Slice 59 of 155. Image size 240x240.
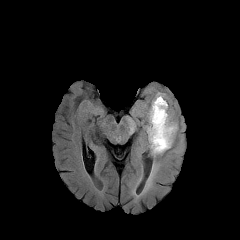
FLAIR magnetic resonance.
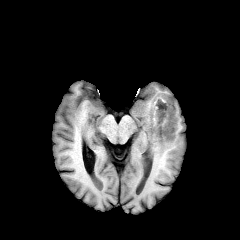
T1-weighted magnetic resonance.
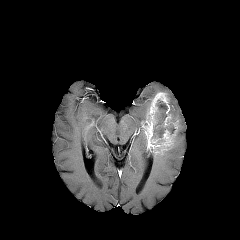
Post-contrast T1-weighted magnetic resonance of the same slice.
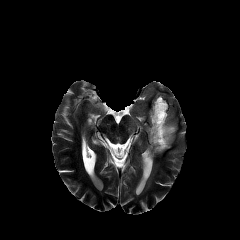
T2-weighted MR.
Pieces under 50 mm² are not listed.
The 3 largest peritumoral edema regions appear at bbox(144, 136, 166, 191); bbox(127, 120, 135, 131); bbox(142, 103, 150, 135). The enhancing tumor is bounded by bbox(144, 92, 177, 153). 2 necrotic tumor core regions are located at bbox(167, 124, 175, 133); bbox(152, 100, 167, 142).